Brain; Slice 97/155
FLAIR MR.
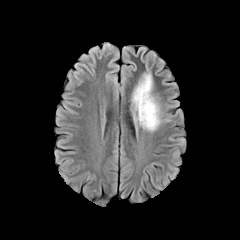
T1-weighted MR.
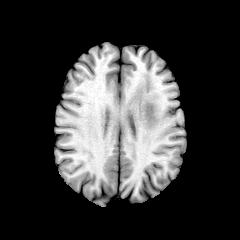
Post-contrast T1-weighted magnetic resonance.
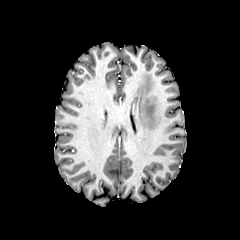
T2-weighted MRI.
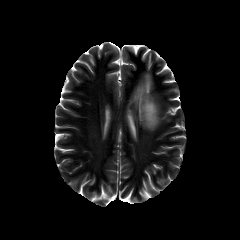
The peritumoral edema is bounded by rect(132, 73, 160, 131).